FLAIR magnetic resonance.
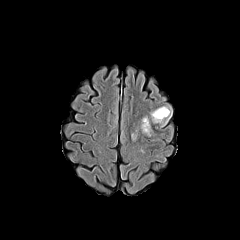
T1-weighted magnetic resonance.
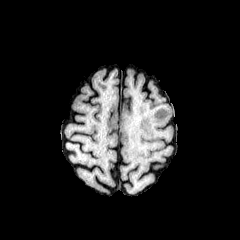
Post-contrast T1-weighted MR image.
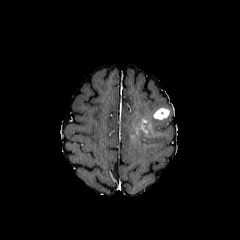
T2-weighted magnetic resonance.
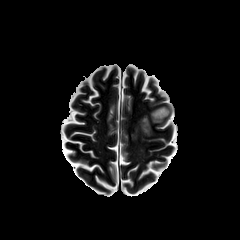
Axial view.
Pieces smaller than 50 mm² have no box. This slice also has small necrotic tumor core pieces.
* peritumoral edema: {"x1": 149, "y1": 105, "x2": 172, "y2": 126}
* enhancing tumor: {"x1": 140, "y1": 119, "x2": 150, "y2": 133}, {"x1": 153, "y1": 108, "x2": 169, "y2": 119}